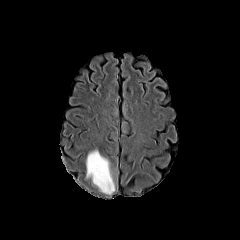
FLAIR MR image.
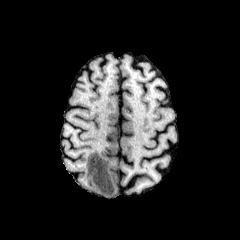
T1-weighted MR image.
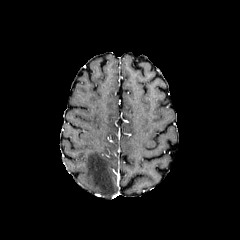
Same slice, post-contrast T1-weighted MRI.
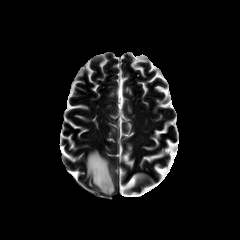
T2-weighted MR of the same slice.
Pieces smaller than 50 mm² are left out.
peritumoral edema: 85,148,115,194